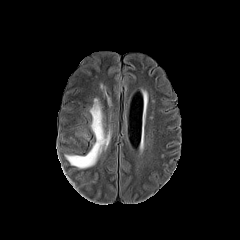
FLAIR MRI.
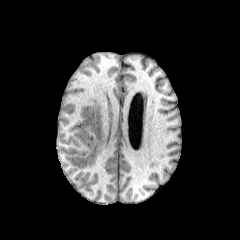
T1-weighted MRI.
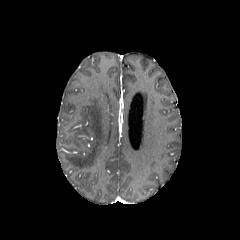
Same slice, post-contrast T1-weighted magnetic resonance.
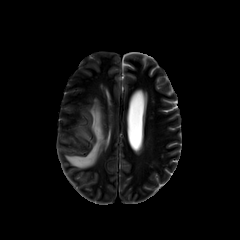
T2-weighted magnetic resonance.
Axial plane
2 peritumoral edema regions appear at 100 82 112 106, 65 96 111 168.